FLAIR magnetic resonance.
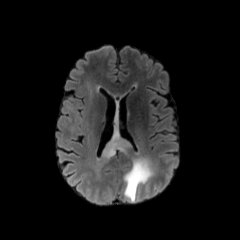
T1-weighted magnetic resonance.
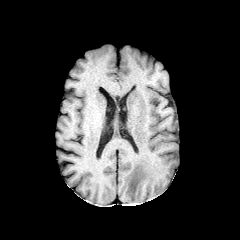
Post-contrast T1-weighted MRI.
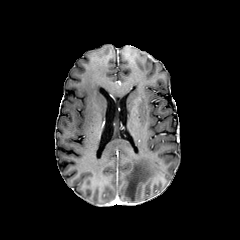
T2-weighted MRI.
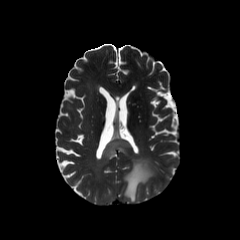
Axial view.
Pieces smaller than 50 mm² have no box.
peritumoral edema: 104, 125, 154, 202